FLAIR MRI.
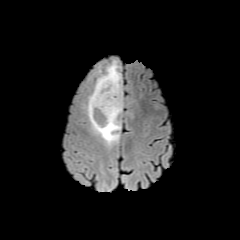
T1-weighted MR.
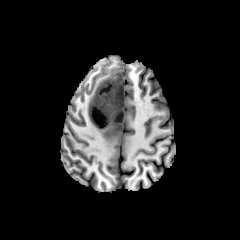
Post-contrast T1-weighted MRI.
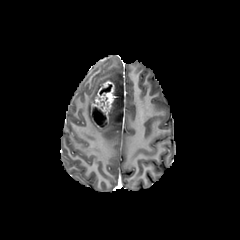
T2-weighted MR.
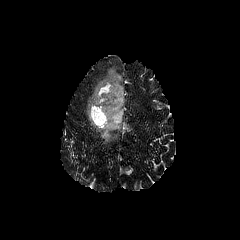
240x240 | Head
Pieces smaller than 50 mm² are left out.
Findings:
- enhancing tumor: (90, 81, 116, 127)
- necrotic tumor core: (92, 107, 106, 125), (99, 84, 112, 95)
- peritumoral edema: (87, 61, 123, 146)